FLAIR MRI.
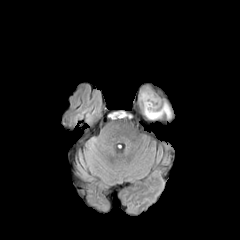
T1-weighted MR.
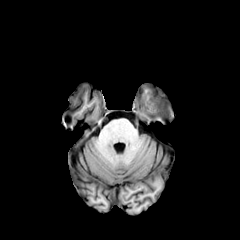
Post-contrast T1-weighted MR.
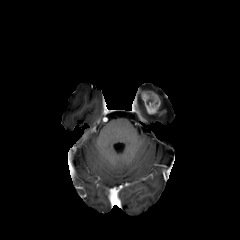
T2-weighted MR image.
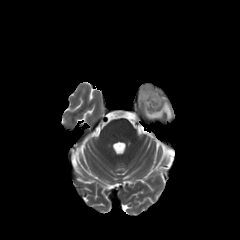
Axial plane
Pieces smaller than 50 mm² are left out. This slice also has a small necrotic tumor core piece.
peritumoral edema: bounding box left=144, top=104, right=159, bottom=119; left=159, top=102, right=171, bottom=117
enhancing tumor: bounding box left=141, top=91, right=165, bottom=115